Brain. 240x240 px. Axial slice. Slice index 54.
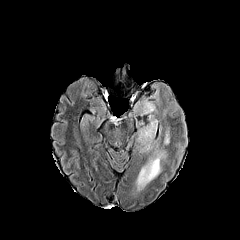
FLAIR MR.
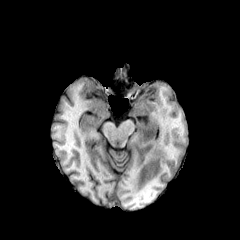
T1-weighted magnetic resonance of the same slice.
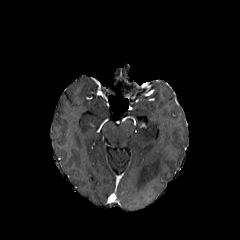
Post-contrast T1-weighted MR image.
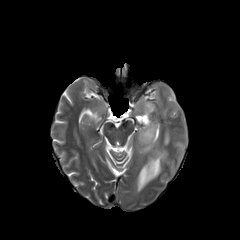
T2-weighted magnetic resonance.
peritumoral_edema:
  - 136 150 167 190
  - 162 131 170 146
  - 137 101 158 141